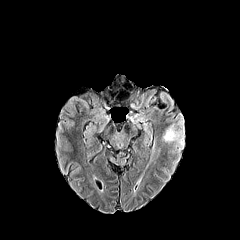
FLAIR magnetic resonance.
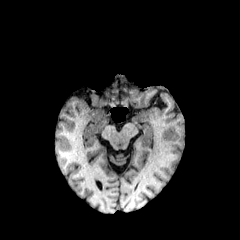
T1-weighted magnetic resonance of the same slice.
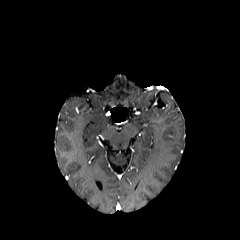
Same slice, post-contrast T1-weighted MR image.
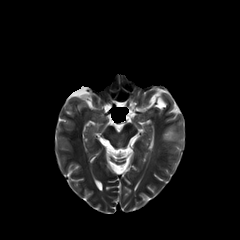
T2-weighted MRI.
240x240 px
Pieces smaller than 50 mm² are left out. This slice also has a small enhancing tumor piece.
peritumoral edema: bbox=[162, 118, 184, 150]